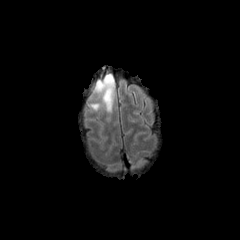
FLAIR MR image.
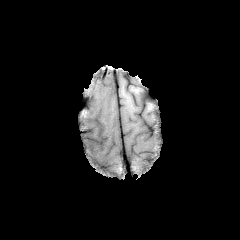
T1-weighted MR.
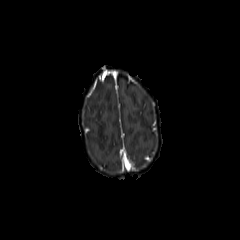
Post-contrast T1-weighted MR image of the same slice.
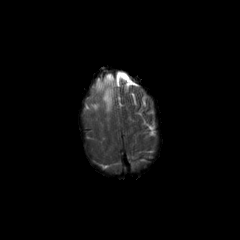
Same slice, T2-weighted MRI.
Axial view | Image size 240x240 | Head
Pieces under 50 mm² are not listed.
{
  "peritumoral_edema": [
    "89, 74, 114, 114"
  ]
}